FLAIR magnetic resonance.
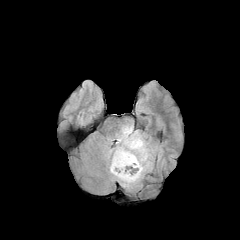
T1-weighted magnetic resonance.
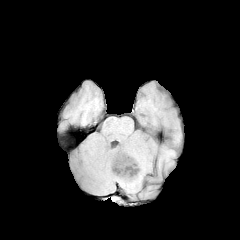
Post-contrast T1-weighted MR image.
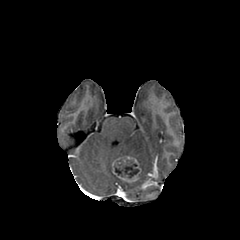
T2-weighted MR.
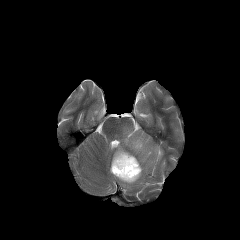
240x240 px. Axial slice.
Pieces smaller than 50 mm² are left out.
<segmentation>
  <enhancing_tumor>112 155 141 182</enhancing_tumor>
  <necrotic_tumor_core>114 159 139 178</necrotic_tumor_core>
  <peritumoral_edema>104 124 153 190</peritumoral_edema>
</segmentation>